FLAIR magnetic resonance.
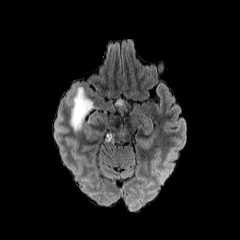
T1-weighted MRI.
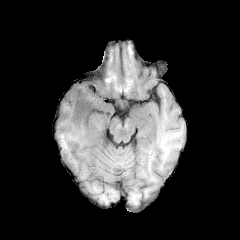
Post-contrast T1-weighted MR image.
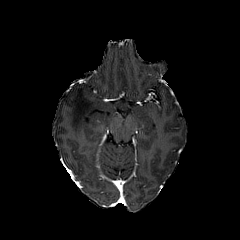
T2-weighted MR.
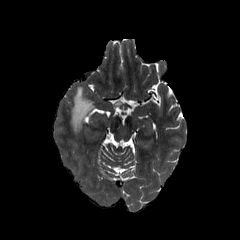
Head | 240x240
peritumoral edema: bounding box 116 98 122 110, 71 87 94 131